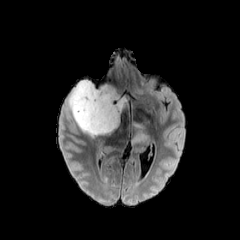
FLAIR MRI.
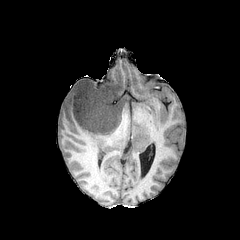
T1-weighted MRI of the same slice.
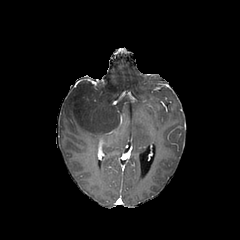
Post-contrast T1-weighted MR of the same slice.
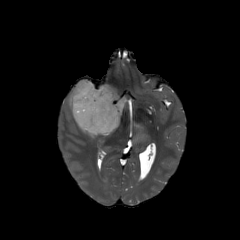
T2-weighted magnetic resonance.
Axial plane
2 peritumoral edema regions appear at (x1=68, y1=80, x2=125, y2=140), (x1=125, y1=118, x2=150, y2=148).